240x240; Head
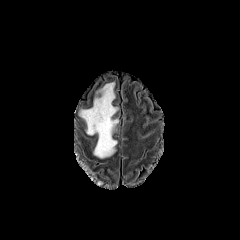
FLAIR MR.
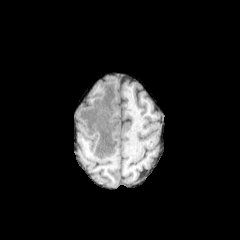
Same slice, T1-weighted magnetic resonance.
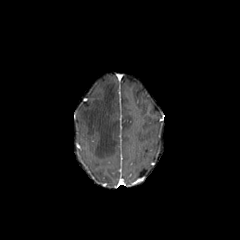
Post-contrast T1-weighted MR image.
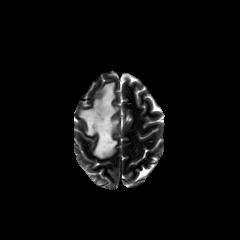
Same slice, T2-weighted MR image.
{"peritumoral_edema": ["(79,82,118,158)"]}